FLAIR MR image.
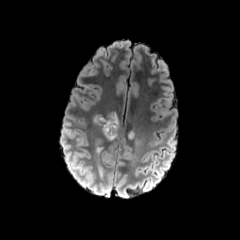
T1-weighted magnetic resonance.
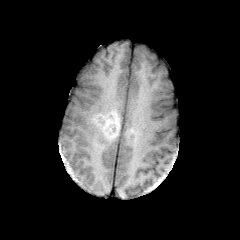
Post-contrast T1-weighted MRI.
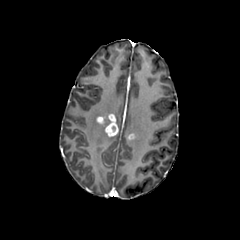
T2-weighted MR.
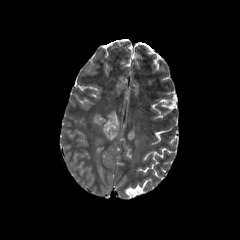
Axial slice, 240x240
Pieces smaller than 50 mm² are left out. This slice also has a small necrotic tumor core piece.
enhancing tumor: x1=96, y1=113, x2=118, y2=137 | peritumoral edema: x1=94, y1=127, x2=105, y2=180; x1=134, y1=139, x2=144, y2=151